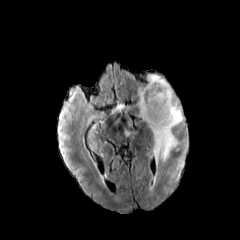
FLAIR MR image.
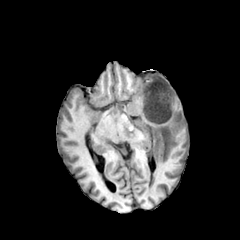
Same slice, T1-weighted MR image.
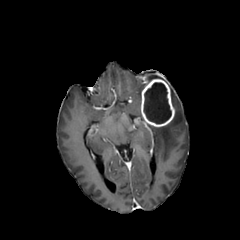
Post-contrast T1-weighted magnetic resonance.
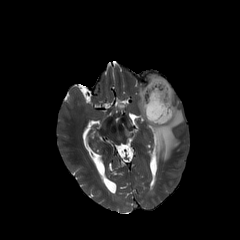
T2-weighted MR of the same slice.
240x240 px | Brain
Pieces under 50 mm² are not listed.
enhancing_tumor:
  - (x1=141, y1=78, x2=175, y2=127)
necrotic_tumor_core:
  - (x1=144, y1=83, x2=171, y2=123)
peritumoral_edema:
  - (x1=138, y1=89, x2=142, y2=116)
  - (x1=149, y1=88, x2=183, y2=164)